FLAIR MR.
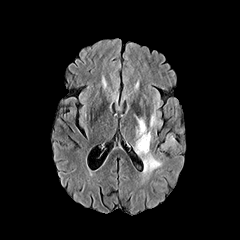
T1-weighted MRI.
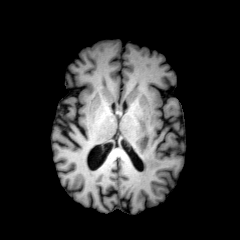
Post-contrast T1-weighted MRI.
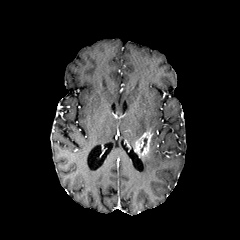
T2-weighted magnetic resonance.
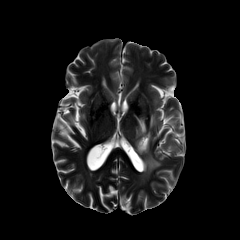
Brain | 240x240
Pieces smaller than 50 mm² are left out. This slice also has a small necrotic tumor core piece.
The enhancing tumor is at 134, 132, 151, 156. 4 peritumoral edema regions are located at 143, 151, 161, 172; 160, 133, 175, 151; 136, 118, 146, 138; 150, 113, 156, 127.